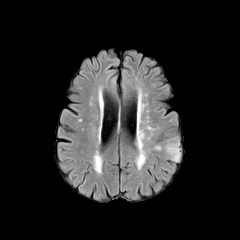
FLAIR MR.
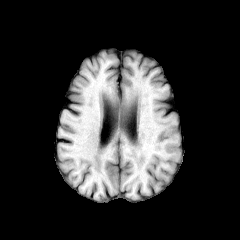
T1-weighted MR image.
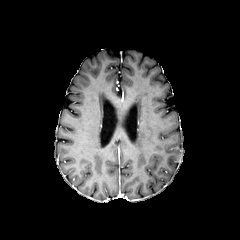
Post-contrast T1-weighted MRI of the same slice.
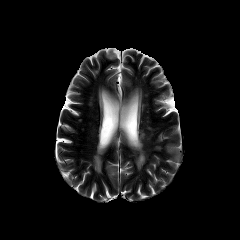
T2-weighted MR image.
Axial plane
The peritumoral edema appears at region(165, 141, 180, 161).